FLAIR MRI.
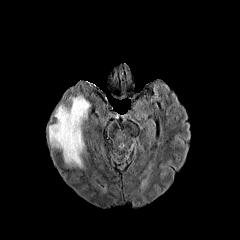
T1-weighted MRI.
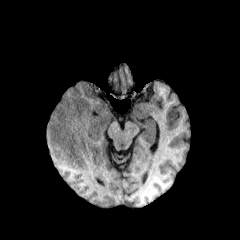
Post-contrast T1-weighted MR image.
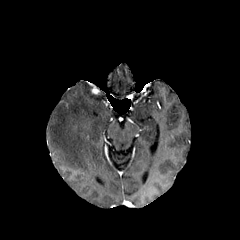
T2-weighted magnetic resonance.
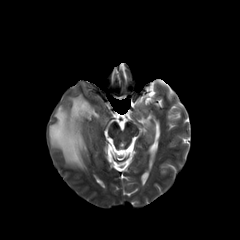
Axial view.
The peritumoral edema is located at bbox=[49, 95, 90, 168].